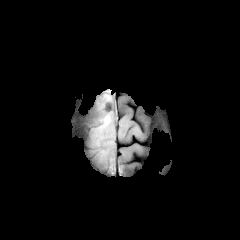
FLAIR MR image.
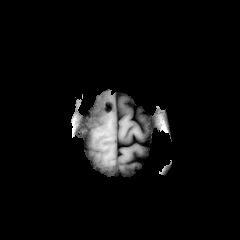
T1-weighted MR image.
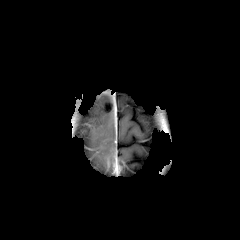
Post-contrast T1-weighted MR of the same slice.
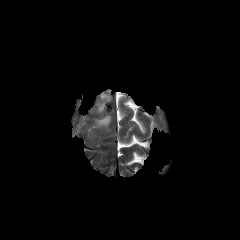
T2-weighted MR of the same slice.
Axial slice.
<segmentation>
  <peritumoral_edema>87, 92, 115, 127</peritumoral_edema>
</segmentation>